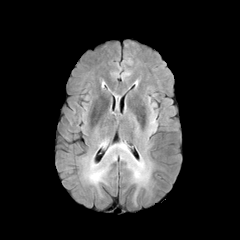
FLAIR MRI.
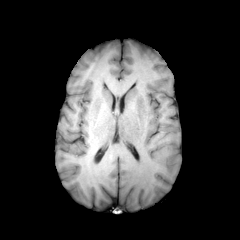
T1-weighted magnetic resonance.
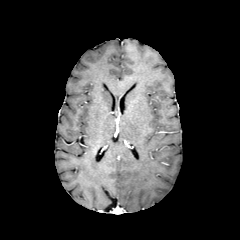
Post-contrast T1-weighted MR.
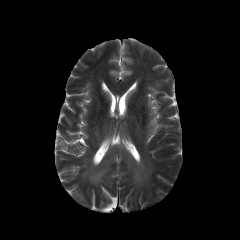
T2-weighted magnetic resonance of the same slice.
Head
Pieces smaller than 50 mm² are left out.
peritumoral edema = (x1=84, y1=160, x2=108, y2=184), (x1=149, y1=117, x2=156, y2=132), (x1=106, y1=142, x2=150, y2=187)